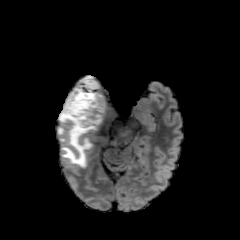
FLAIR MRI.
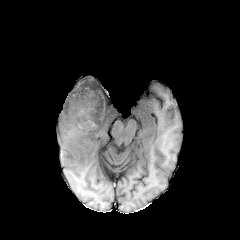
T1-weighted MRI.
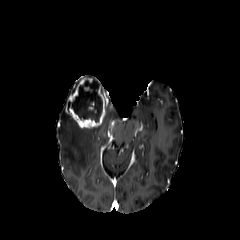
Post-contrast T1-weighted MR.
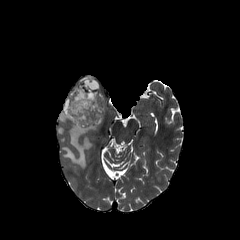
T2-weighted MRI.
Brain
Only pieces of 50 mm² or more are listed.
necrotic tumor core: bounding box [72, 80, 102, 121]
enhancing tumor: bounding box [65, 76, 106, 128]
peritumoral edema: bounding box [59, 87, 116, 167]